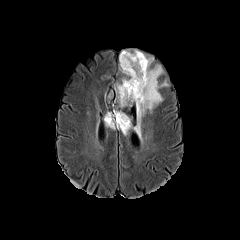
FLAIR MR.
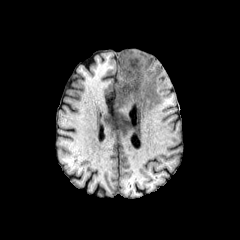
T1-weighted MR of the same slice.
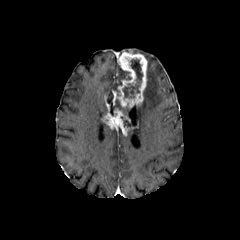
Same slice, post-contrast T1-weighted MR.
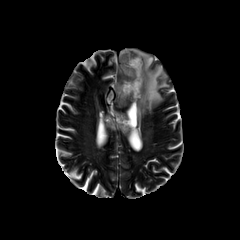
T2-weighted MRI of the same slice.
240x240 px
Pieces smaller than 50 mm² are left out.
The 2 largest peritumoral edema regions are located at box=[119, 65, 131, 79]; box=[131, 50, 168, 136]. The largest necrotic tumor core region is bounded by box=[123, 59, 142, 98]. 2 enhancing tumor regions are located at box=[115, 51, 147, 107]; box=[102, 110, 138, 135].